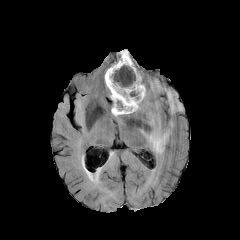
FLAIR magnetic resonance.
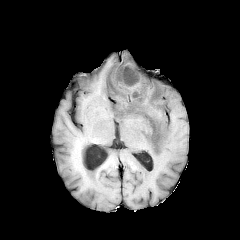
Same slice, T1-weighted magnetic resonance.
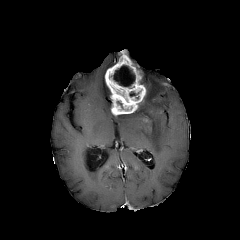
Post-contrast T1-weighted MRI.
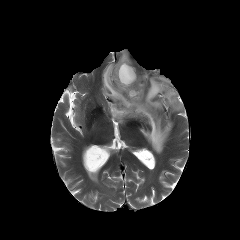
T2-weighted magnetic resonance of the same slice.
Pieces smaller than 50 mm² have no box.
The 2 largest peritumoral edema regions are located at x1=111 y1=112 x2=125 y2=123, x1=132 y1=79 x2=183 y2=154. The largest necrotic tumor core region is bounded by x1=113 y1=65 x2=135 y2=86. The enhancing tumor appears at x1=105 y1=50 x2=146 y2=115.